FLAIR MRI.
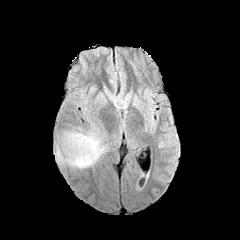
T1-weighted MR.
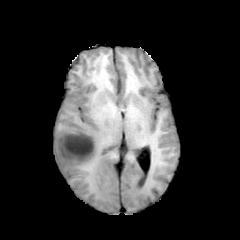
Post-contrast T1-weighted MRI.
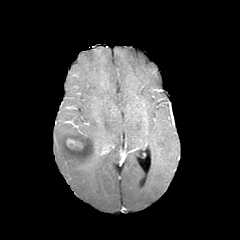
T2-weighted magnetic resonance.
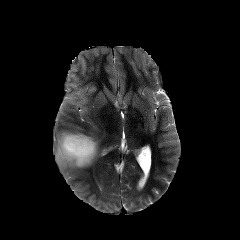
Axial plane.
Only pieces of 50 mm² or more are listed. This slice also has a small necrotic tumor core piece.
enhancing tumor — (66, 139, 82, 148)
peritumoral edema — (55, 124, 105, 168)